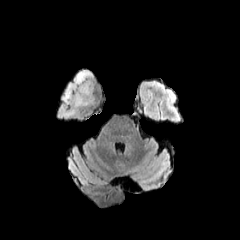
FLAIR MR image.
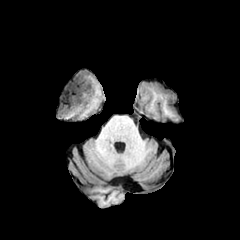
T1-weighted magnetic resonance.
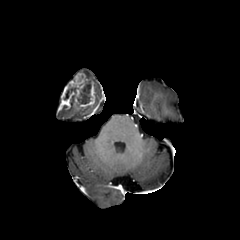
Post-contrast T1-weighted MR of the same slice.
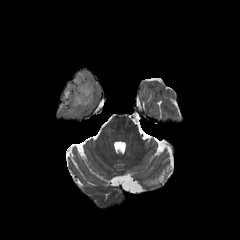
Same slice, T2-weighted MRI.
Head
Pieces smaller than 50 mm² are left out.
peritumoral edema — 60 106 76 116, 82 70 92 78
necrotic tumor core — 78 81 90 103, 64 88 75 99
enhancing tumor — 58 72 95 111